FLAIR MR.
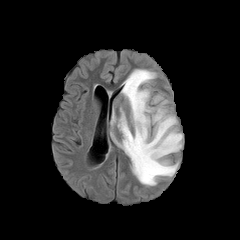
T1-weighted magnetic resonance.
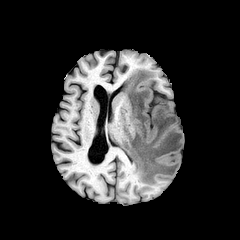
Post-contrast T1-weighted MR.
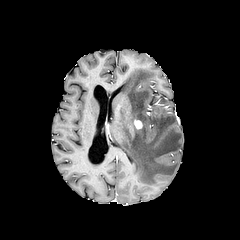
T2-weighted MR image.
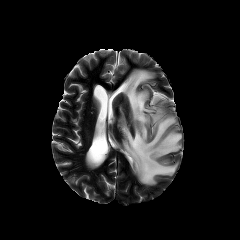
Brain, 240x240 px
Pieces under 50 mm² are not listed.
• enhancing tumor: 134 120 142 128, 154 106 163 120
• peritumoral edema: 110 69 182 185